Image width 240 mm, 1.00 mm slice spacing. Axial slice. Brain.
FLAIR MRI.
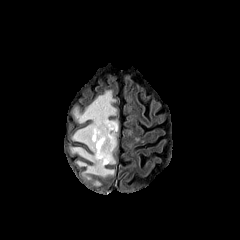
T1-weighted MR image.
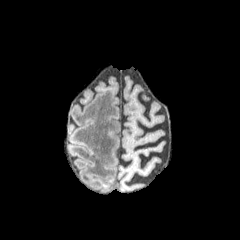
Post-contrast T1-weighted MR.
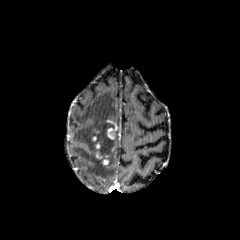
T2-weighted MRI.
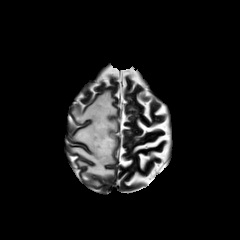
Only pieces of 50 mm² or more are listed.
The largest necrotic tumor core region lies within bbox(96, 123, 114, 147). The 2 largest peritumoral edema regions are located at bbox(70, 90, 116, 179); bbox(101, 138, 116, 164). The 2 largest enhancing tumor regions appear at bbox(106, 119, 117, 139); bbox(95, 141, 109, 164).